Image width 240 mm, 1.00 mm slice spacing; Slice index 102
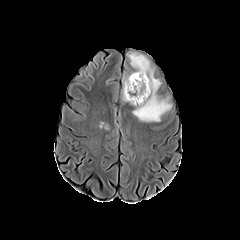
FLAIR MR image.
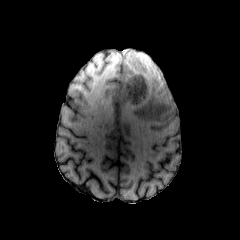
T1-weighted MRI.
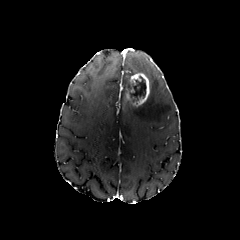
Post-contrast T1-weighted magnetic resonance.
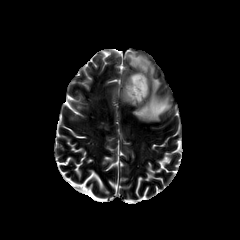
T2-weighted MRI.
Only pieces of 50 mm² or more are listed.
The largest enhancing tumor region is located at (124,73,149,106). The 3 largest peritumoral edema regions are bounded by (132,57,146,75), (123,76,130,96), (133,77,171,122). The largest necrotic tumor core region is located at (129,76,146,100).